FLAIR MR.
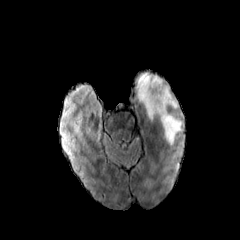
T1-weighted MR image.
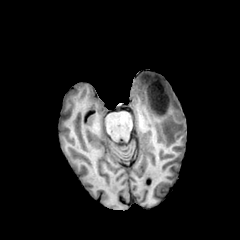
Post-contrast T1-weighted MRI.
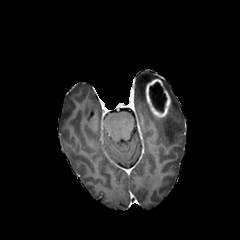
T2-weighted MR.
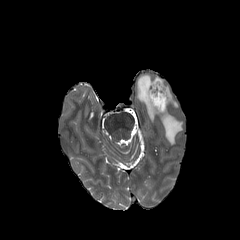
Axial view
Annotated regions:
• necrotic tumor core: rect(149, 82, 166, 112)
• enhancing tumor: rect(145, 78, 170, 117)
• peritumoral edema: rect(158, 113, 183, 144); rect(164, 83, 178, 108); rect(136, 73, 158, 119)